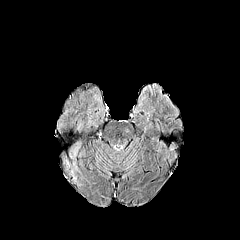
FLAIR MR.
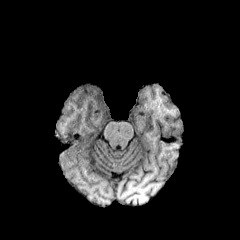
Same slice, T1-weighted MR.
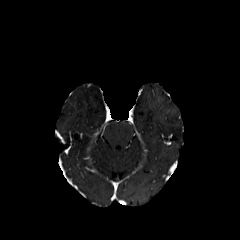
Post-contrast T1-weighted MRI.
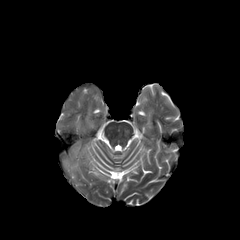
T2-weighted MRI.
Head. 240x240 px.
{
  "peritumoral_edema": [
    "66:146:79:169"
  ]
}